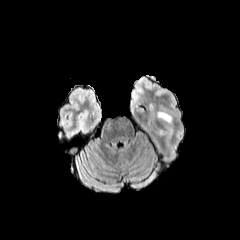
FLAIR MRI.
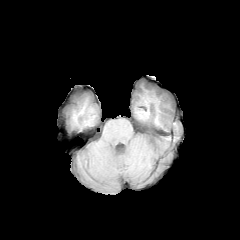
Same slice, T1-weighted MR image.
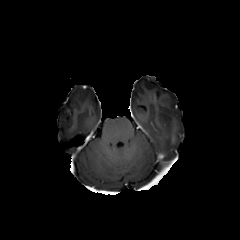
Post-contrast T1-weighted magnetic resonance.
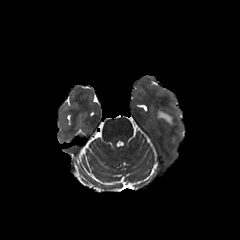
Same slice, T2-weighted MRI.
Image size 240x240
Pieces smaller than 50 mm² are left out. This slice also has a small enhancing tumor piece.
peritumoral edema: 158 112 171 123